FLAIR MRI.
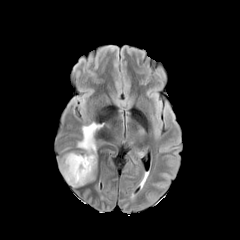
T1-weighted MR image.
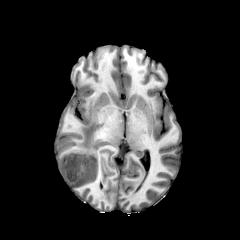
Post-contrast T1-weighted magnetic resonance.
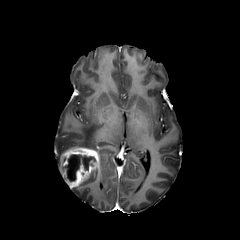
T2-weighted MR.
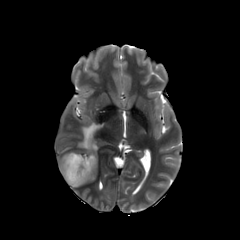
Axial slice.
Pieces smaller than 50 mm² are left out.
peritumoral edema at box(76, 122, 102, 150)
enhancing tumor at box(59, 147, 98, 188)
necrotic tumor core at box(62, 154, 95, 181)